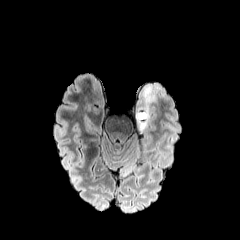
FLAIR magnetic resonance.
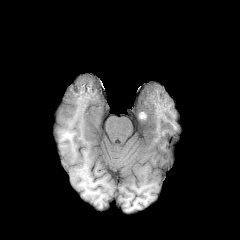
T1-weighted MRI of the same slice.
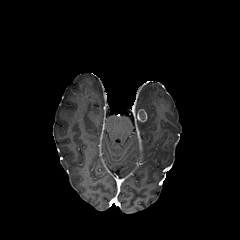
Post-contrast T1-weighted MR.
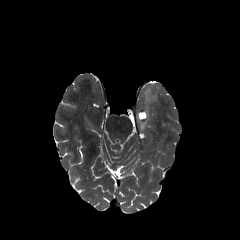
T2-weighted MR of the same slice.
Brain | 240x240 px
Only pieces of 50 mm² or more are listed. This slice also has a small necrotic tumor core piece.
<segmentation>
  <enhancing_tumor>x1=137 y1=109 x2=147 y2=122</enhancing_tumor>
  <peritumoral_edema>x1=136 y1=88 x2=155 y2=131</peritumoral_edema>
</segmentation>